Image width 240 mm, 1.00 mm slice spacing; Axial slice; Slice index 47; Brain
FLAIR MR.
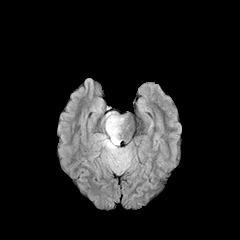
T1-weighted MRI.
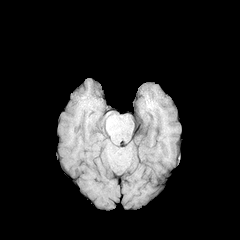
Post-contrast T1-weighted magnetic resonance.
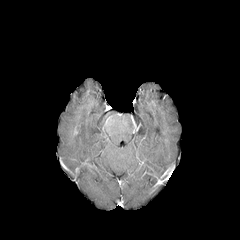
T2-weighted MR.
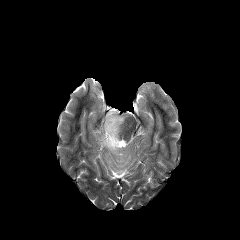
Annotated regions:
• peritumoral edema: (left=95, top=112, right=131, bottom=172)